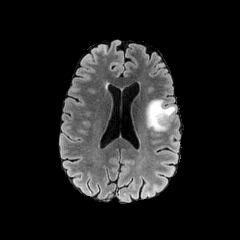
FLAIR MR.
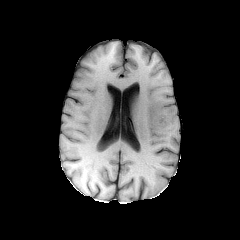
T1-weighted MR of the same slice.
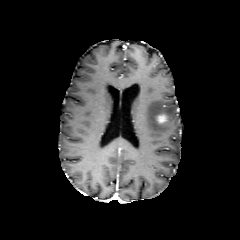
Post-contrast T1-weighted magnetic resonance of the same slice.
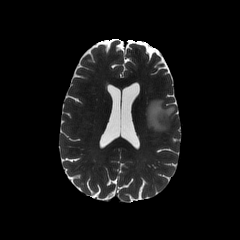
T2-weighted MR image of the same slice.
Axial view, Image size 240x240, Brain
{"peritumoral_edema": ["region(146, 99, 175, 131)"], "enhancing_tumor": ["region(157, 114, 166, 123)"]}